FLAIR MR image.
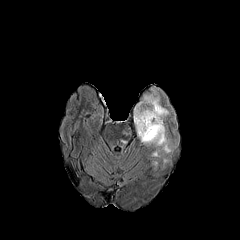
T1-weighted magnetic resonance.
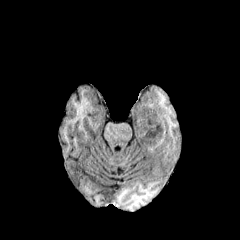
Post-contrast T1-weighted MR image.
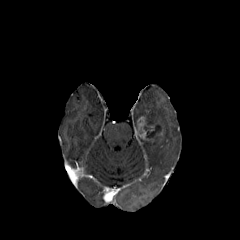
T2-weighted MRI.
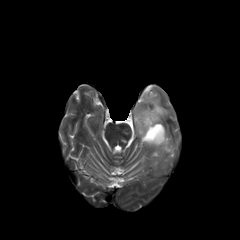
Head
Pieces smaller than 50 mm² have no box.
peritumoral edema = bbox=[133, 90, 173, 157]; bbox=[122, 123, 131, 135]
necrotic tumor core = bbox=[143, 120, 162, 141]
enhancing tumor = bbox=[137, 116, 149, 140]